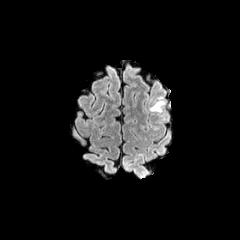
FLAIR MR.
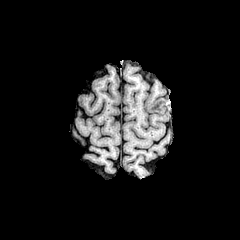
Same slice, T1-weighted MR.
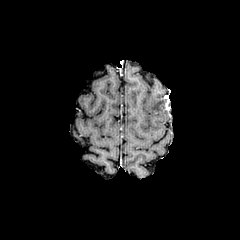
Post-contrast T1-weighted MR.
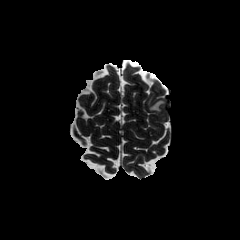
T2-weighted MRI of the same slice.
Brain | 240x240 px
The peritumoral edema appears at (149,96,165,111).